FLAIR magnetic resonance.
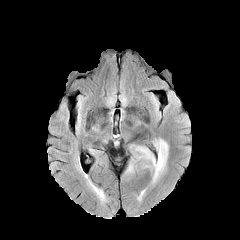
T1-weighted magnetic resonance.
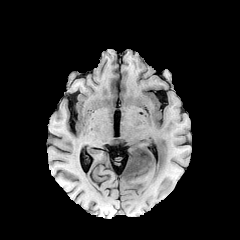
Post-contrast T1-weighted magnetic resonance.
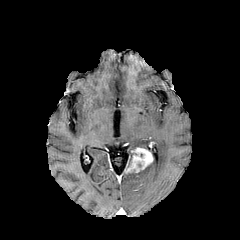
T2-weighted MRI.
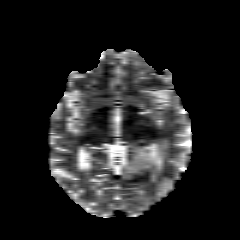
Brain. 240x240 px. Axial view.
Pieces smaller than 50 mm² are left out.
- enhancing tumor: [x1=124, y1=147, x2=153, y2=174]
- peritumoral edema: [x1=145, y1=139, x2=168, y2=182]